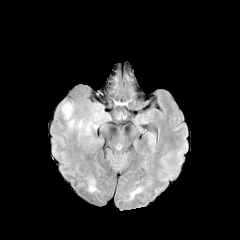
FLAIR magnetic resonance.
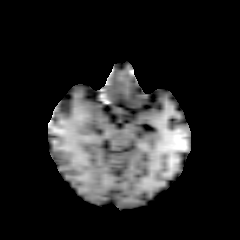
Same slice, T1-weighted MR.
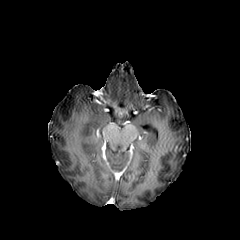
Post-contrast T1-weighted MRI.
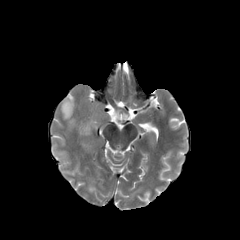
T2-weighted MR image.
Head
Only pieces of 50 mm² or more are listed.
The largest peritumoral edema region appears at (58,102,81,129).